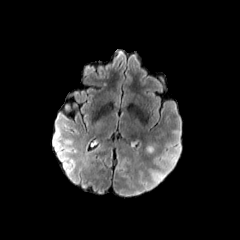
FLAIR MR image.
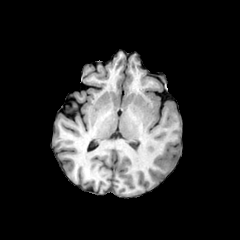
T1-weighted MRI.
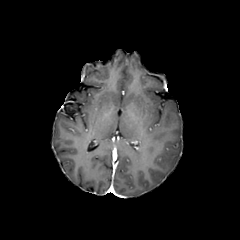
Post-contrast T1-weighted MRI of the same slice.
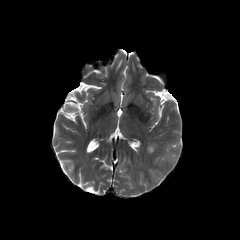
Same slice, T2-weighted magnetic resonance.
240x240 px
<segmentation>
  <peritumoral_edema>(145,146,153,153)</peritumoral_edema>
</segmentation>